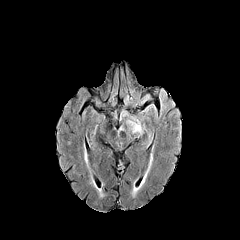
FLAIR magnetic resonance.
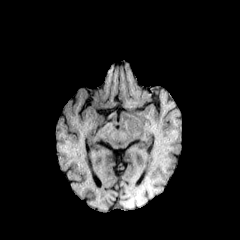
T1-weighted magnetic resonance.
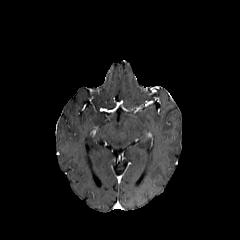
Post-contrast T1-weighted magnetic resonance of the same slice.
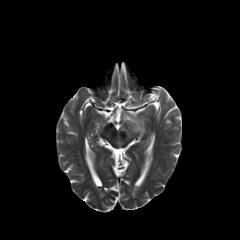
T2-weighted MRI.
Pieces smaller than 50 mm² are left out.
peritumoral edema: bbox=[126, 115, 143, 134]